FLAIR MR.
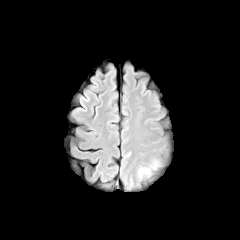
T1-weighted magnetic resonance.
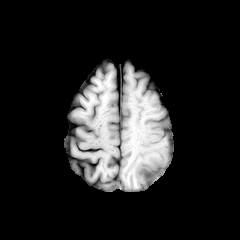
Post-contrast T1-weighted MR image.
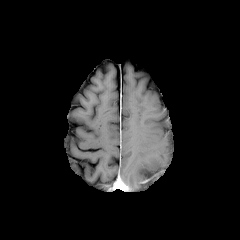
T2-weighted MRI.
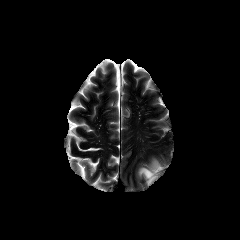
Brain; Axial slice; 240x240
peritumoral edema — bbox=[139, 159, 159, 179]